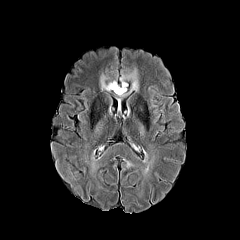
FLAIR MRI.
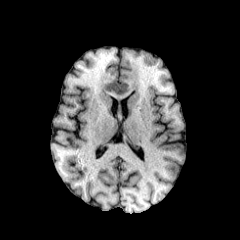
Same slice, T1-weighted MR image.
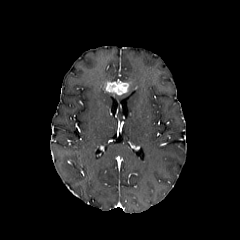
Post-contrast T1-weighted MR.
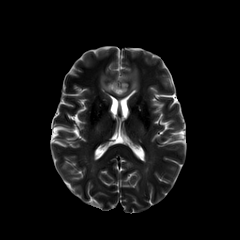
T2-weighted magnetic resonance.
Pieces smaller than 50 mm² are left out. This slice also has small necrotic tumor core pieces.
• peritumoral edema: 120:65:138:96, 100:74:108:90
• enhancing tumor: 104:81:128:95